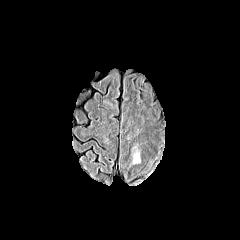
FLAIR MR image.
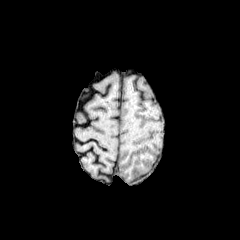
T1-weighted magnetic resonance.
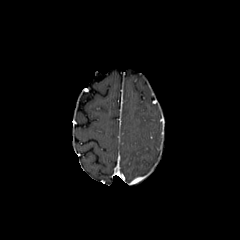
Post-contrast T1-weighted magnetic resonance.
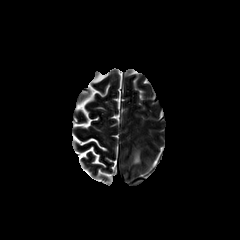
Same slice, T2-weighted magnetic resonance.
Head.
peritumoral edema at 133:153:140:163